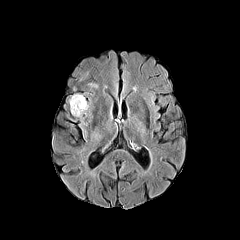
FLAIR MRI.
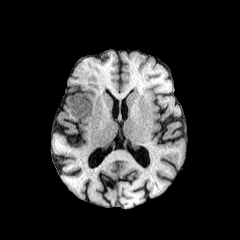
Same slice, T1-weighted MRI.
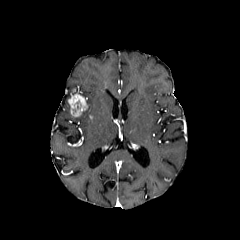
Post-contrast T1-weighted MR image of the same slice.
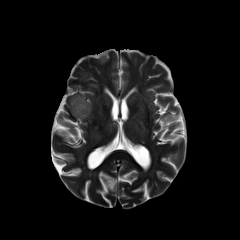
T2-weighted magnetic resonance.
Brain
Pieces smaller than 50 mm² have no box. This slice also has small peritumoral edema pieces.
enhancing tumor — left=68, top=89, right=88, bottom=116